FLAIR MR.
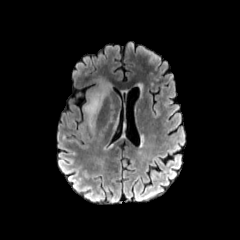
T1-weighted MR image.
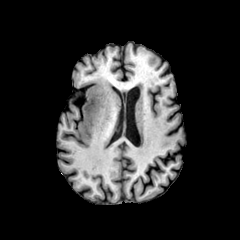
Post-contrast T1-weighted MRI.
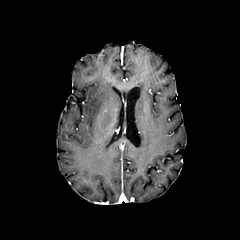
T2-weighted MR image.
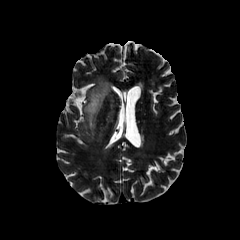
Head
The peritumoral edema lies within (x1=83, y1=79, x2=111, y2=133).